Slice 112/155; Head
FLAIR magnetic resonance.
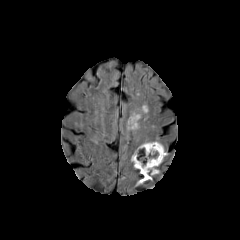
T1-weighted MRI.
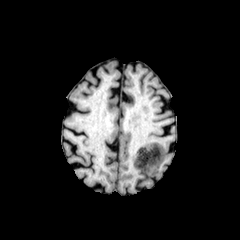
Post-contrast T1-weighted magnetic resonance.
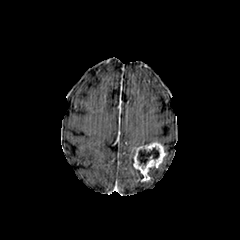
T2-weighted MRI.
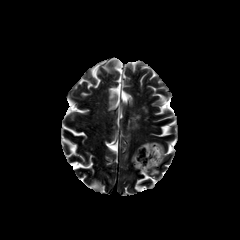
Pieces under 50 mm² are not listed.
The enhancing tumor appears at box=[133, 142, 166, 181]. The largest peritumoral edema region lies within box=[149, 167, 159, 180]. The necrotic tumor core appears at box=[137, 148, 159, 164].